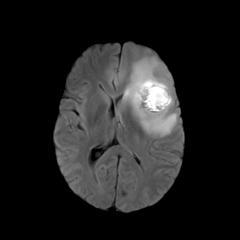
FLAIR magnetic resonance.
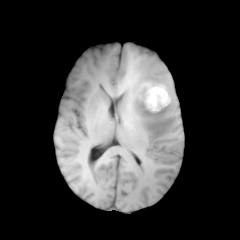
T1-weighted magnetic resonance.
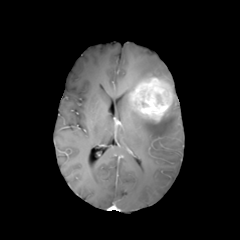
Post-contrast T1-weighted MR image of the same slice.
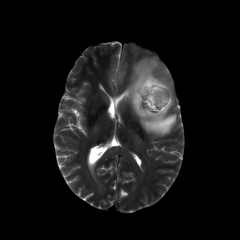
T2-weighted MRI.
Brain
{
  "enhancing_tumor": [
    "box=[130, 77, 172, 122]"
  ],
  "peritumoral_edema": [
    "box=[123, 57, 177, 136]"
  ]
}